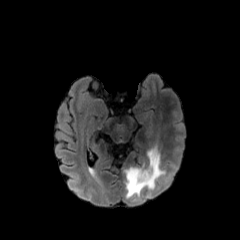
FLAIR MR image.
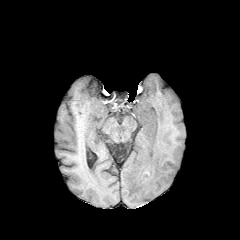
T1-weighted MR.
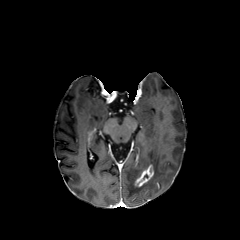
Same slice, post-contrast T1-weighted magnetic resonance.
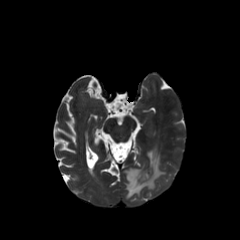
T2-weighted MRI.
Brain.
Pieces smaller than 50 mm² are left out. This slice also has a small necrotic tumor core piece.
The peritumoral edema appears at box(125, 148, 164, 198). The enhancing tumor appears at box(134, 164, 153, 186).